240x240 px | Head | Slice 103/155 | Image width 240 mm, 1.00 mm slice spacing
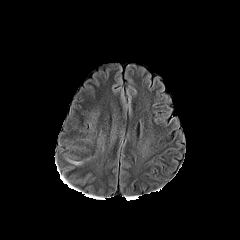
FLAIR MR image.
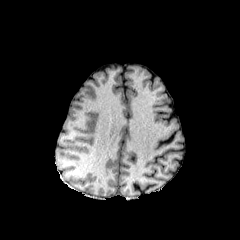
T1-weighted MRI of the same slice.
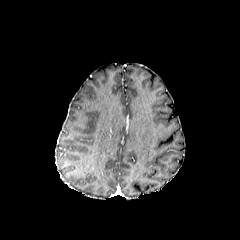
Post-contrast T1-weighted MR of the same slice.
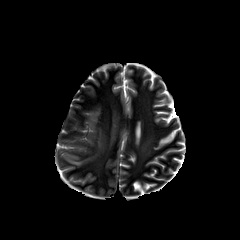
Same slice, T2-weighted MRI.
Segmented structures:
* peritumoral edema: [x1=65, y1=128, x2=103, y2=164]